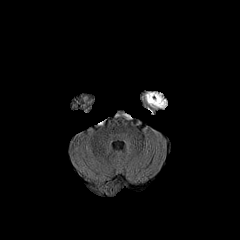
FLAIR MRI.
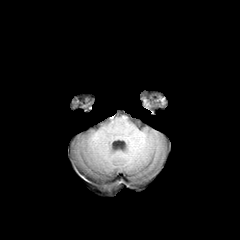
T1-weighted MRI.
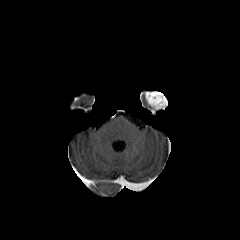
Post-contrast T1-weighted MR of the same slice.
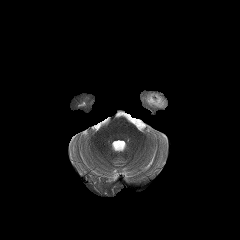
Same slice, T2-weighted MR.
Brain
The enhancing tumor is at rect(146, 92, 167, 108).